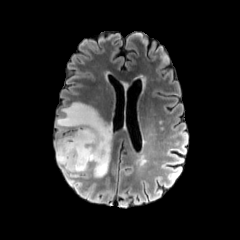
FLAIR magnetic resonance.
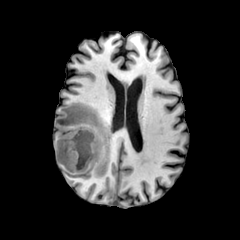
T1-weighted MRI.
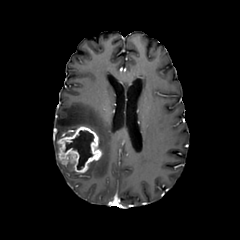
Same slice, post-contrast T1-weighted MRI.
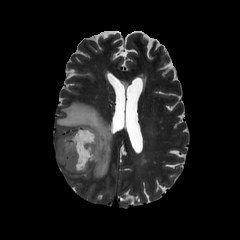
T2-weighted MRI.
Brain, 240x240 px
enhancing_tumor:
  - <bbox>57, 126, 101, 172</bbox>
peritumoral_edema:
  - <bbox>55, 102, 112, 177</bbox>
necrotic_tumor_core:
  - <bbox>64, 130, 93, 169</bbox>